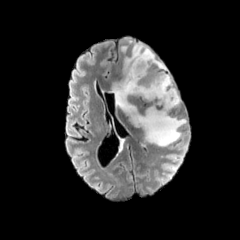
FLAIR magnetic resonance.
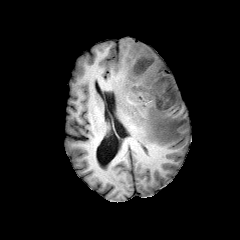
T1-weighted MR.
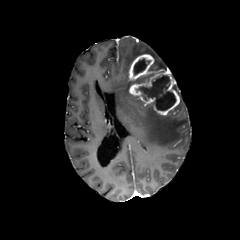
Post-contrast T1-weighted MRI of the same slice.
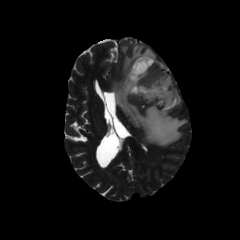
T2-weighted MR of the same slice.
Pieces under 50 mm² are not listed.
<segmentation>
  <peritumoral_edema>136 74 153 83, 111 43 187 146</peritumoral_edema>
  <necrotic_tumor_core>137 75 176 110, 133 58 146 75</necrotic_tumor_core>
  <enhancing_tumor>128 54 179 115</enhancing_tumor>
</segmentation>